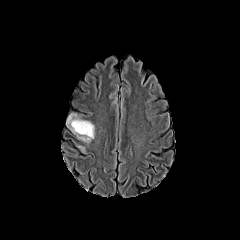
FLAIR magnetic resonance.
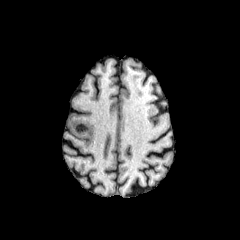
T1-weighted MR image.
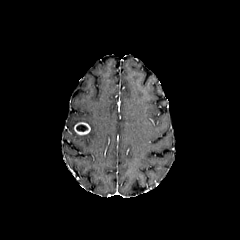
Same slice, post-contrast T1-weighted MR.
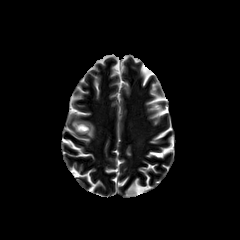
Same slice, T2-weighted magnetic resonance.
Brain
necrotic tumor core = bbox(76, 125, 87, 131)
enhancing tumor = bbox(74, 122, 90, 135)
peritumoral edema = bbox(67, 113, 94, 142)